Brain, Slice index 108, Image width 240 mm
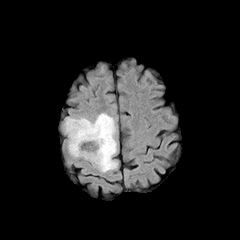
FLAIR MRI.
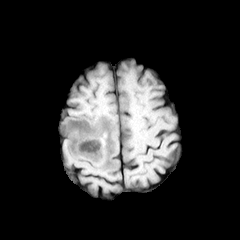
T1-weighted MR image of the same slice.
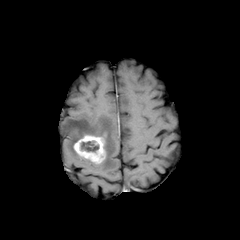
Post-contrast T1-weighted magnetic resonance of the same slice.
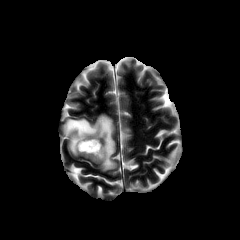
Same slice, T2-weighted MR image.
Annotated regions:
* necrotic tumor core: <bbox>79, 141, 98, 151</bbox>
* enhancing tumor: <bbox>73, 135, 105, 163</bbox>
* peritumoral edema: <bbox>62, 113, 117, 172</bbox>